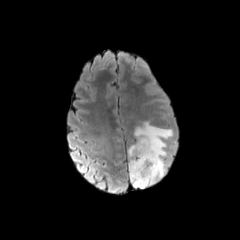
FLAIR MR.
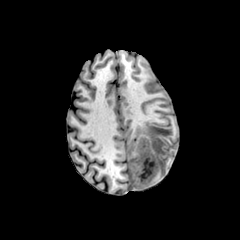
T1-weighted MR of the same slice.
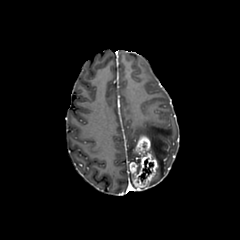
Post-contrast T1-weighted MR image of the same slice.
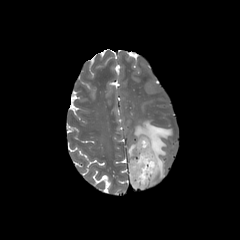
Same slice, T2-weighted MRI.
Image size 240x240, Head
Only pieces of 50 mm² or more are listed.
peritumoral edema: [128, 143, 138, 157], [134, 121, 172, 185] | necrotic tumor core: [138, 159, 153, 182] | enhancing tumor: [129, 136, 158, 187]